Image size 240x240; Axial plane; Brain
FLAIR magnetic resonance.
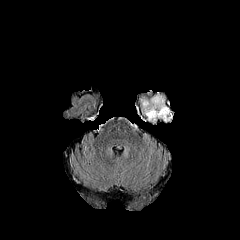
T1-weighted magnetic resonance.
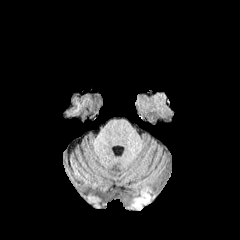
Post-contrast T1-weighted MR image.
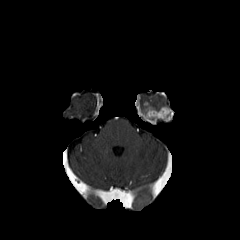
T2-weighted MR image.
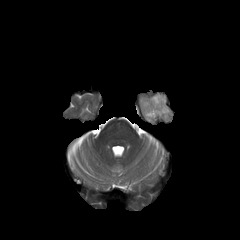
enhancing tumor: bounding box l=143, t=102, r=173, b=123
peritumoral edema: bounding box l=141, t=94, r=165, b=113